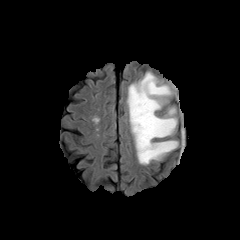
FLAIR MR.
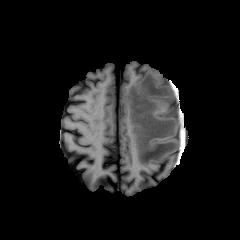
T1-weighted MR image.
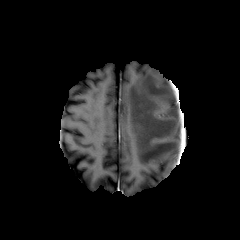
Post-contrast T1-weighted MR.
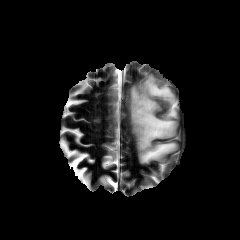
T2-weighted MR of the same slice.
Head
peritumoral edema — left=127, top=72, right=178, bottom=164